Brain.
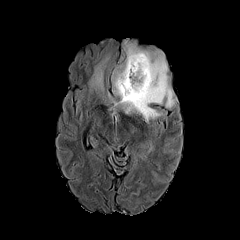
FLAIR MR.
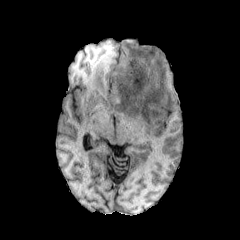
T1-weighted MR image of the same slice.
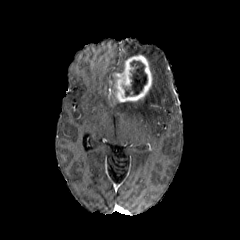
Same slice, post-contrast T1-weighted MR.
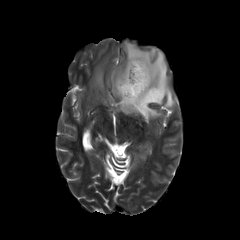
T2-weighted magnetic resonance.
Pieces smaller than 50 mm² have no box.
enhancing tumor — x1=115, y1=54, x2=152, y2=102
peritumoral edema — x1=111, y1=60, x2=125, y2=94; x1=88, y1=55, x2=109, y2=95; x1=104, y1=40, x2=176, y2=122
necrotic tumor core — x1=124, y1=60, x2=147, y2=96